FLAIR MR.
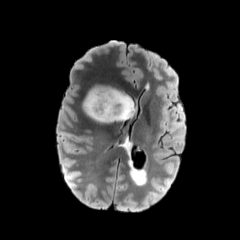
T1-weighted MR image.
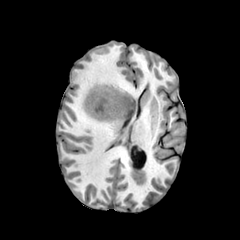
Post-contrast T1-weighted magnetic resonance.
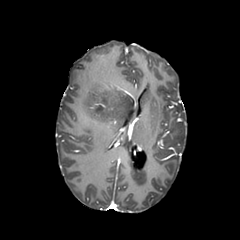
T2-weighted MR image.
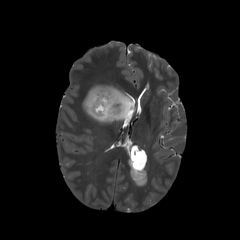
Axial view, Brain
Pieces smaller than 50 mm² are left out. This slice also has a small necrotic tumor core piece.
{"enhancing_tumor": ["(left=93, top=97, right=112, bottom=113)"], "peritumoral_edema": ["(left=83, top=85, right=134, bottom=122)"]}